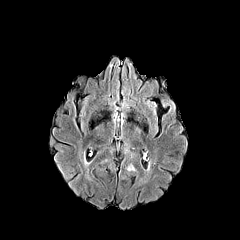
FLAIR magnetic resonance.
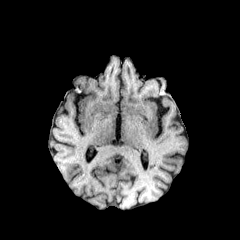
Same slice, T1-weighted magnetic resonance.
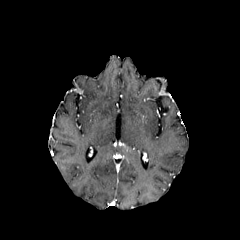
Post-contrast T1-weighted MRI.
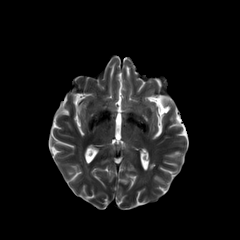
Same slice, T2-weighted MR.
Head. Axial plane.
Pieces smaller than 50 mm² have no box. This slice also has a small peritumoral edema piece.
enhancing_tumor:
  - {"x1": 119, "y1": 144, "x2": 130, "y2": 152}